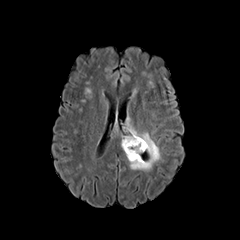
FLAIR MR.
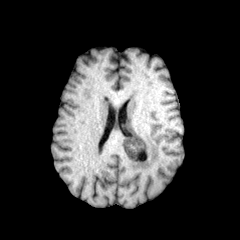
T1-weighted MRI.
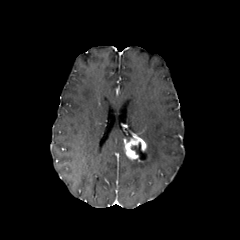
Post-contrast T1-weighted MR.
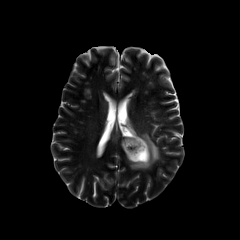
T2-weighted MR of the same slice.
Image size 240x240, Axial slice
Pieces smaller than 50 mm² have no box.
peritumoral_edema:
  - bbox=[127, 128, 160, 170]
necrotic_tumor_core:
  - bbox=[131, 143, 142, 155]
enhancing_tumor:
  - bbox=[123, 134, 146, 161]